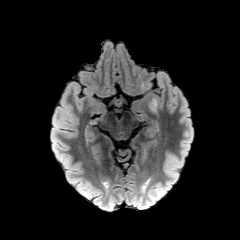
FLAIR MR.
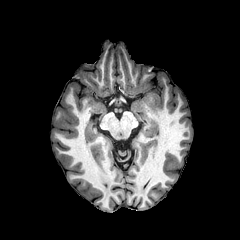
T1-weighted MR.
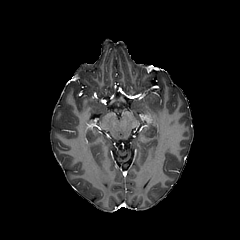
Post-contrast T1-weighted MR.
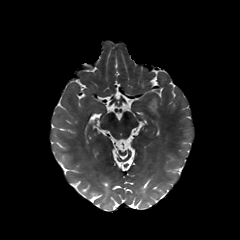
T2-weighted MRI of the same slice.
Brain | Axial view
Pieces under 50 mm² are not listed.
The largest peritumoral edema region is located at rect(148, 96, 157, 112).